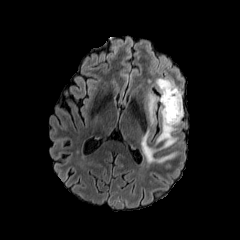
FLAIR MR image.
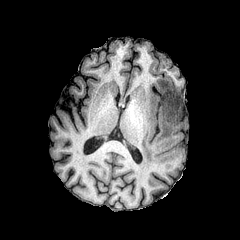
T1-weighted MRI.
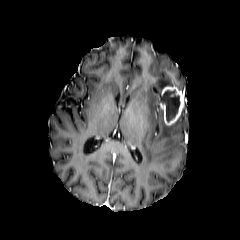
Post-contrast T1-weighted MRI of the same slice.
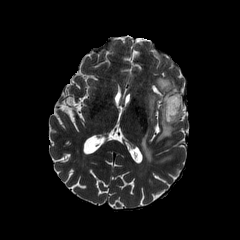
T2-weighted magnetic resonance of the same slice.
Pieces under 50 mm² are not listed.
peritumoral edema — (left=156, top=78, right=174, bottom=91), (left=141, top=130, right=175, bottom=162), (left=156, top=109, right=183, bottom=148), (left=147, top=93, right=159, bottom=123)
necrotic tumor core — (left=161, top=90, right=179, bottom=122)
enhancing tumor — (left=160, top=85, right=183, bottom=125)